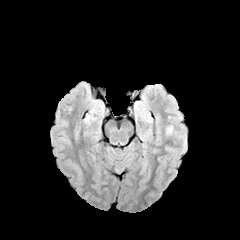
FLAIR MR image.
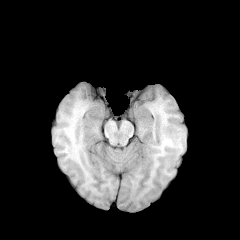
T1-weighted MR.
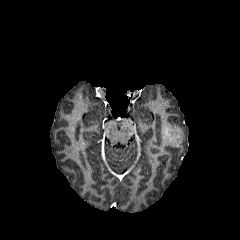
Post-contrast T1-weighted magnetic resonance.
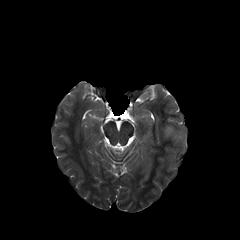
T2-weighted MRI.
Head | Image size 240x240
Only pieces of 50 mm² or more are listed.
enhancing_tumor:
  - 164, 127, 171, 135
peritumoral_edema:
  - 166, 125, 183, 138